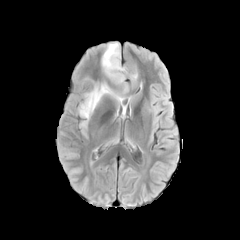
FLAIR MR.
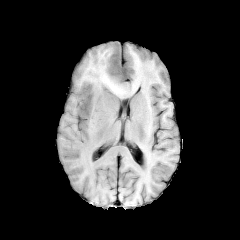
Same slice, T1-weighted MRI.
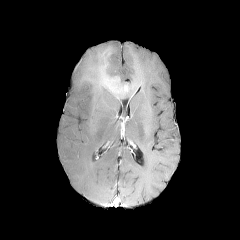
Post-contrast T1-weighted MR image of the same slice.
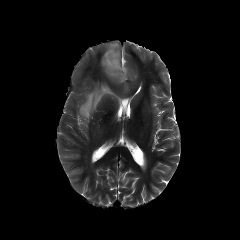
T2-weighted MRI of the same slice.
Brain.
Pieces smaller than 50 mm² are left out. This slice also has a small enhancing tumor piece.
Findings:
* peritumoral edema: l=79, t=42, r=139, b=138